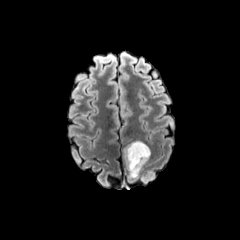
FLAIR MR image.
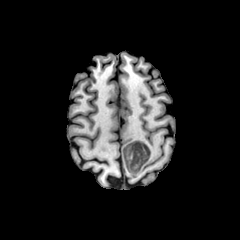
T1-weighted MRI of the same slice.
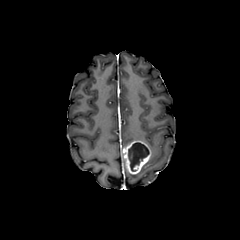
Post-contrast T1-weighted MR.
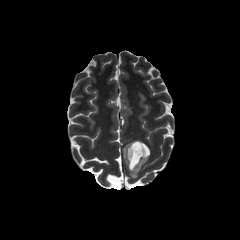
T2-weighted MRI.
240x240 px; Axial plane
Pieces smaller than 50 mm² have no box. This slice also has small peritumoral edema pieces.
The necrotic tumor core is at (left=128, top=142, right=149, bottom=171). The enhancing tumor appears at (left=122, top=140, right=150, bottom=174).